Brain
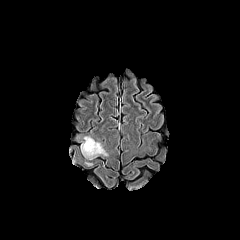
FLAIR MR image.
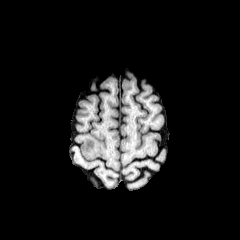
T1-weighted magnetic resonance.
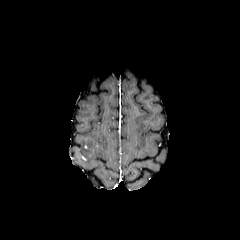
Post-contrast T1-weighted MRI of the same slice.
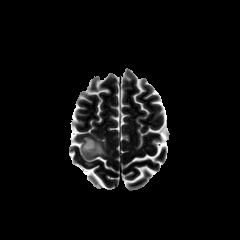
Same slice, T2-weighted MR.
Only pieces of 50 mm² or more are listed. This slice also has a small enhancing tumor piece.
- peritumoral edema: (x1=81, y1=136, x2=107, y2=159)